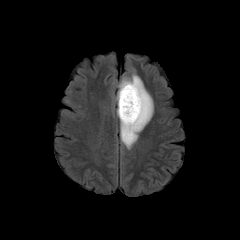
FLAIR MR.
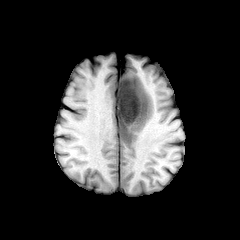
Same slice, T1-weighted magnetic resonance.
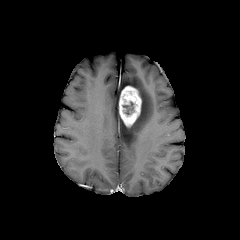
Post-contrast T1-weighted magnetic resonance of the same slice.
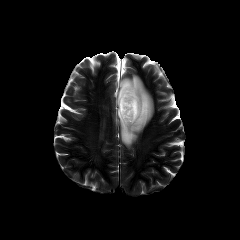
T2-weighted MRI of the same slice.
Brain
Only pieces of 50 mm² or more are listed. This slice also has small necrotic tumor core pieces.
{
  "peritumoral_edema": [
    "[x1=116, y1=73, x2=153, y2=149]"
  ],
  "enhancing_tumor": [
    "[x1=119, y1=85, x2=141, y2=127]"
  ]
}